Slice 92/155. Image covers 240 mm x 240 mm. Axial slice. Brain.
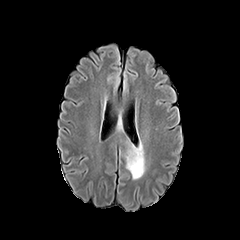
FLAIR MR.
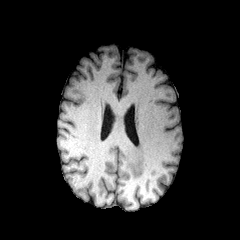
T1-weighted magnetic resonance.
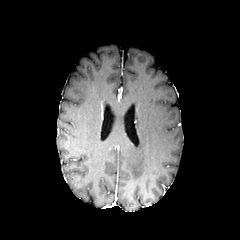
Same slice, post-contrast T1-weighted magnetic resonance.
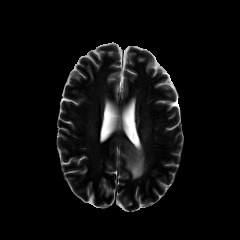
T2-weighted MR image of the same slice.
peritumoral_edema:
  - x1=126, y1=142, x2=145, y2=179